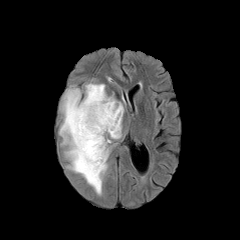
FLAIR MR image.
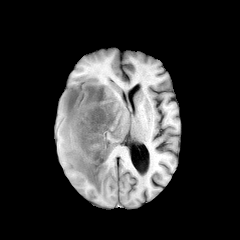
T1-weighted MRI.
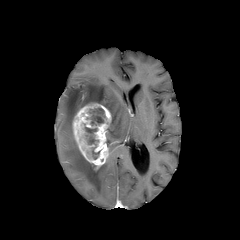
Post-contrast T1-weighted magnetic resonance.
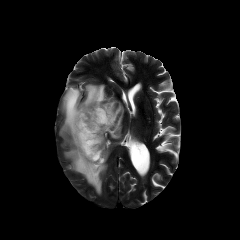
T2-weighted MRI of the same slice.
Head
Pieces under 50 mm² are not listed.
peritumoral edema = [x1=59, y1=83, x2=123, y2=194]
enhancing tumor = [x1=72, y1=103, x2=111, y2=169]
necrotic tumor core = [x1=89, y1=108, x2=104, y2=125], [x1=85, y1=127, x2=96, y2=144]